Head. 240x240.
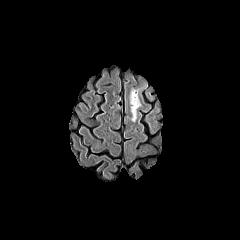
FLAIR MR.
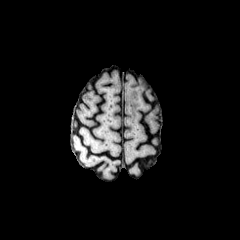
T1-weighted MR image.
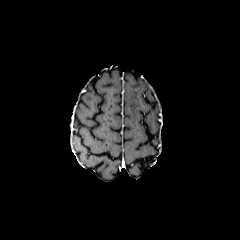
Post-contrast T1-weighted MRI.
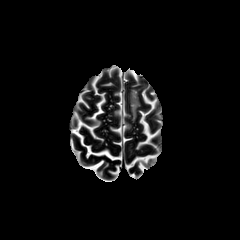
T2-weighted magnetic resonance.
The peritumoral edema is located at l=130, t=89, r=140, b=121.